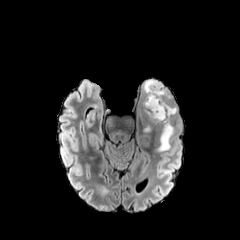
FLAIR magnetic resonance.
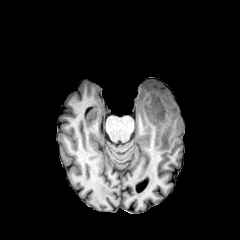
Same slice, T1-weighted MR image.
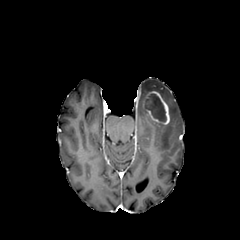
Post-contrast T1-weighted magnetic resonance of the same slice.
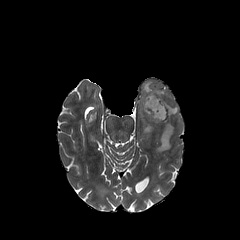
T2-weighted magnetic resonance.
Axial view.
necrotic tumor core: 145 94 166 122
enhancing tumor: 142 90 169 124
peritumoral edema: 142 80 177 151, 142 109 156 133